Axial slice. Image size 240x240.
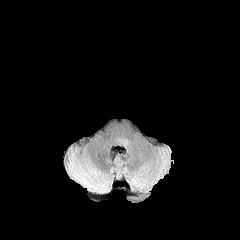
FLAIR MR image.
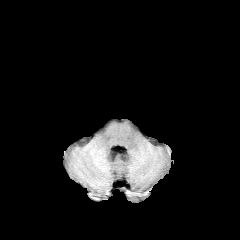
T1-weighted MR image.
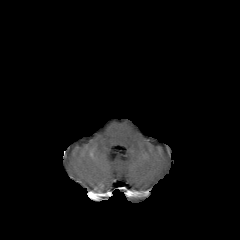
Post-contrast T1-weighted MR.
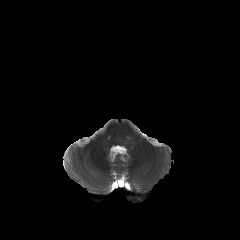
T2-weighted MRI.
peritumoral edema: <bbox>117, 138, 128, 144</bbox>